FLAIR MR.
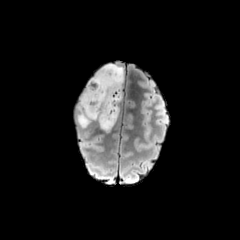
T1-weighted MR image.
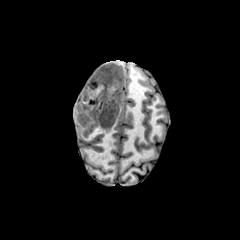
Post-contrast T1-weighted MR.
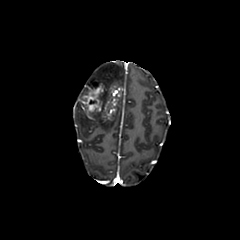
T2-weighted MRI.
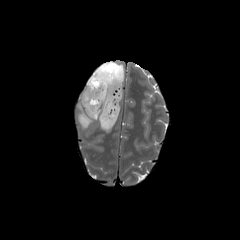
Axial plane
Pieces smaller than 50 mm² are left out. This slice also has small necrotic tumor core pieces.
{
  "enhancing_tumor": [
    "(x1=80, y1=79, x2=122, y2=120)"
  ],
  "peritumoral_edema": [
    "(x1=77, y1=102, x2=119, y2=131)",
    "(x1=89, y1=63, x2=124, y2=87)"
  ]
}